Head; Image covers 240 mm x 240 mm
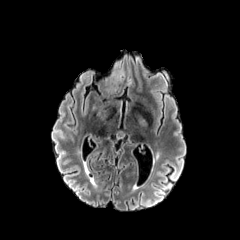
FLAIR MR.
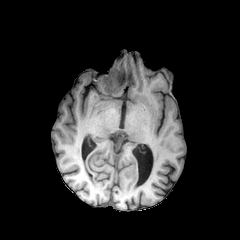
Same slice, T1-weighted MR.
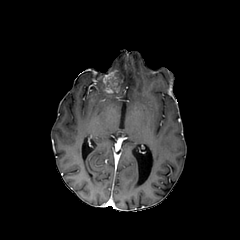
Same slice, post-contrast T1-weighted MR image.
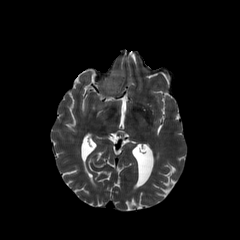
T2-weighted MRI.
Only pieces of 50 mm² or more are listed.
enhancing tumor — l=103, t=70, r=119, b=93
necrotic tumor core — l=115, t=72, r=122, b=86
peritumoral edema — l=118, t=67, r=124, b=80